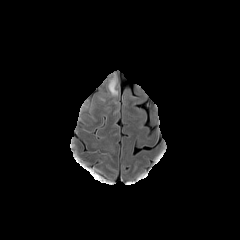
FLAIR magnetic resonance.
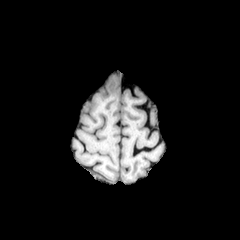
T1-weighted MR image.
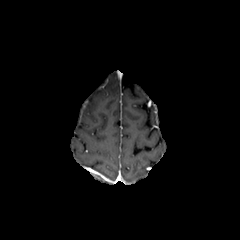
Post-contrast T1-weighted magnetic resonance of the same slice.
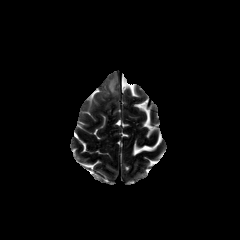
T2-weighted MRI.
Brain
The peritumoral edema is located at (107,73,118,97).